FLAIR MR image.
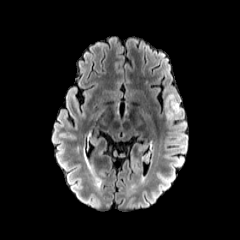
T1-weighted magnetic resonance.
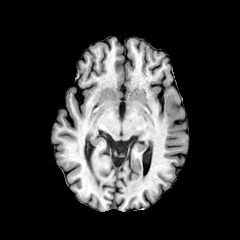
Post-contrast T1-weighted MR.
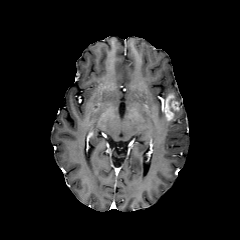
T2-weighted MRI.
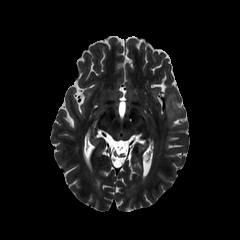
Head; Axial view
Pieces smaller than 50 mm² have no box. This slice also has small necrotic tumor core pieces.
enhancing tumor — 164:93:179:120
peritumoral edema — 167:89:180:102, 166:106:183:126